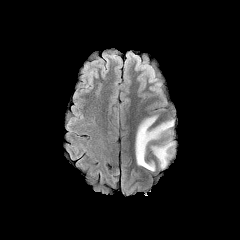
FLAIR MR.
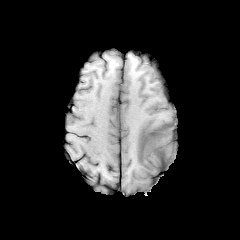
T1-weighted MR image.
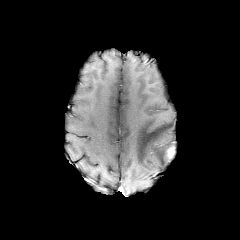
Post-contrast T1-weighted MRI.
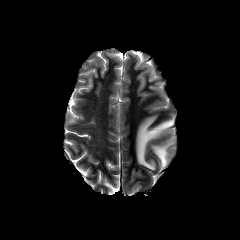
T2-weighted MR image.
Axial view. Brain.
peritumoral edema: x1=135, y1=115, x2=174, y2=171 | enhancing tumor: x1=166, y1=146, x2=174, y2=159